Image width 240 mm, 1.00 mm slice spacing, Brain, 240x240
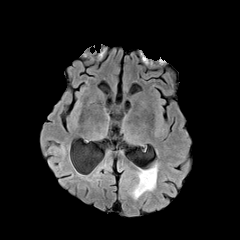
FLAIR MRI.
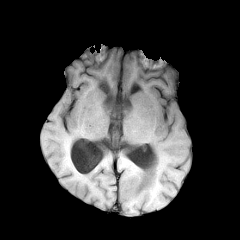
T1-weighted MR image.
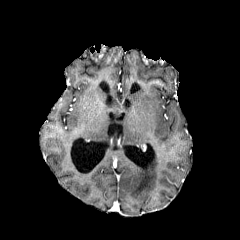
Post-contrast T1-weighted MR of the same slice.
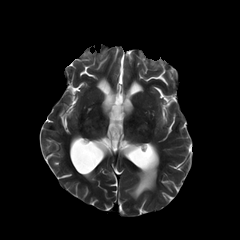
T2-weighted MRI of the same slice.
{"peritumoral_edema": ["(129, 162, 157, 199)"]}